Axial view
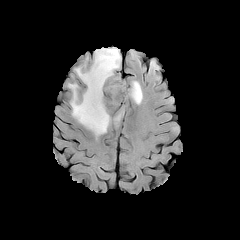
FLAIR MR.
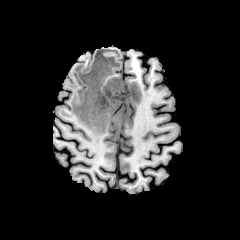
T1-weighted MR.
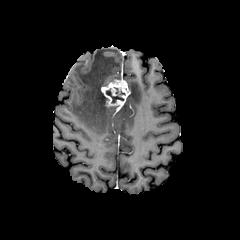
Post-contrast T1-weighted MR.
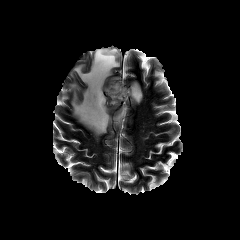
T2-weighted magnetic resonance of the same slice.
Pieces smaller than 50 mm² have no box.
Findings:
• necrotic tumor core: <bbox>106, 90, 123, 103</bbox>
• peritumoral edema: <bbox>128, 81, 142, 104</bbox>, <bbox>114, 106, 124, 123</bbox>, <bbox>68, 48, 121, 136</bbox>
• enhancing tumor: <bbox>101, 79, 130, 109</bbox>